Image size 240x240; Slice 92 of 155; Axial slice; Head
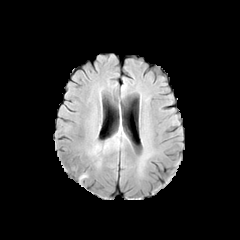
FLAIR MR.
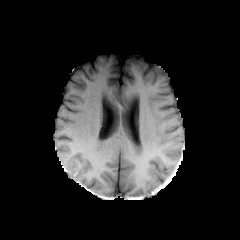
T1-weighted magnetic resonance.
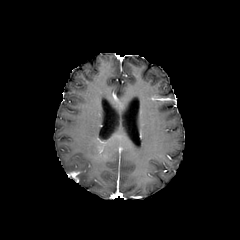
Post-contrast T1-weighted MR of the same slice.
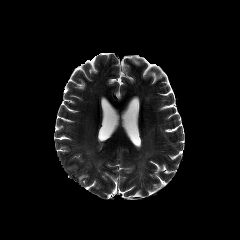
T2-weighted MR.
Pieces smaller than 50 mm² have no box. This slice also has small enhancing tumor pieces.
peritumoral edema — (92,142,109,153)